Head. Image covers 240 mm x 240 mm.
FLAIR magnetic resonance.
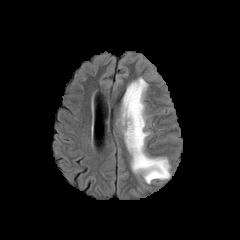
T1-weighted magnetic resonance.
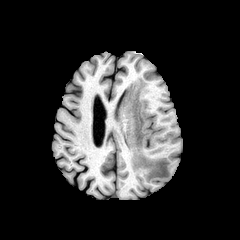
Post-contrast T1-weighted MR image.
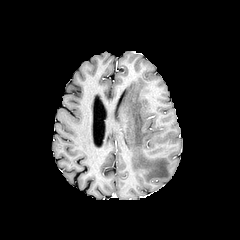
T2-weighted MRI.
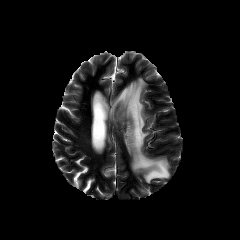
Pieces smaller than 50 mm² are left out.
peritumoral edema: (x1=122, y1=78, x2=170, y2=183)